Axial plane.
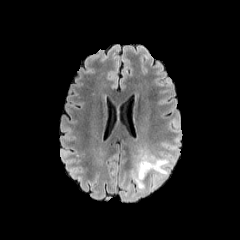
FLAIR magnetic resonance.
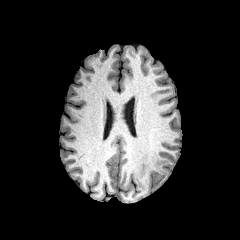
T1-weighted MR image of the same slice.
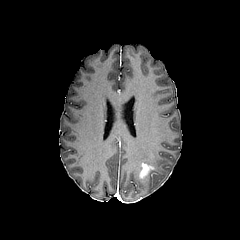
Post-contrast T1-weighted MRI of the same slice.
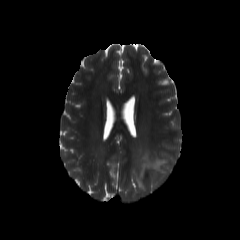
Same slice, T2-weighted MRI.
The enhancing tumor is located at region(139, 162, 155, 178). The peritumoral edema lies within region(130, 152, 176, 191).